Image covers 240 mm x 240 mm, Brain
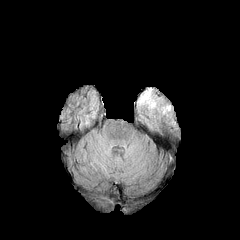
FLAIR MRI.
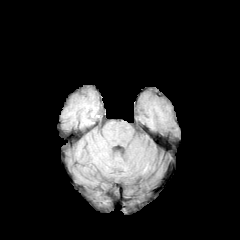
T1-weighted MRI.
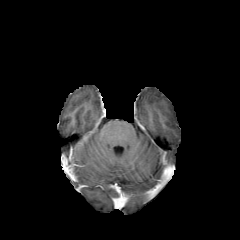
Post-contrast T1-weighted magnetic resonance of the same slice.
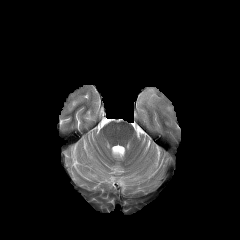
T2-weighted MR image.
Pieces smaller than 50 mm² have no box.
The largest peritumoral edema region is located at 140 88 159 108.